Slice 80 of 155, Head
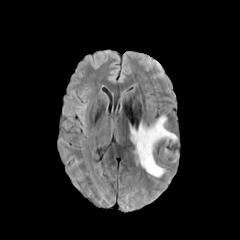
FLAIR MRI.
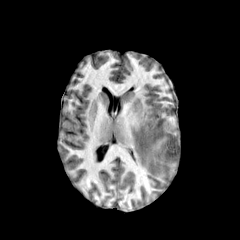
T1-weighted MRI of the same slice.
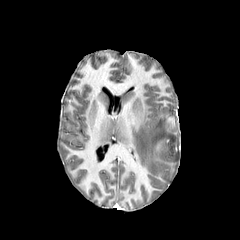
Post-contrast T1-weighted magnetic resonance.
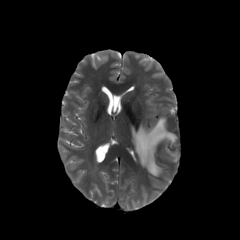
Same slice, T2-weighted MR.
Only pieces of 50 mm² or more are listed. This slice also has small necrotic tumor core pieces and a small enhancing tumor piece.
peritumoral edema: x1=130, y1=116, x2=177, y2=177